Image size 240x240. Head.
FLAIR MR.
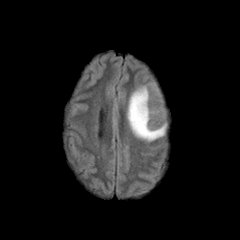
T1-weighted MR image.
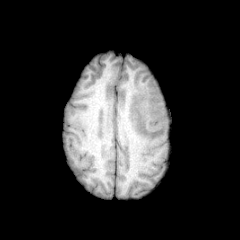
Post-contrast T1-weighted MR.
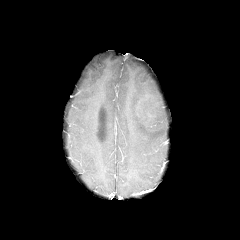
T2-weighted MRI.
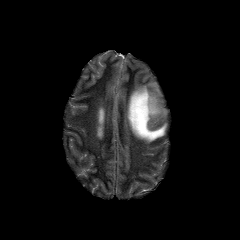
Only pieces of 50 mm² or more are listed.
peritumoral edema: bbox=[127, 85, 166, 142]